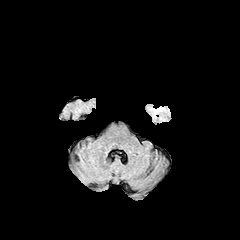
FLAIR MR image.
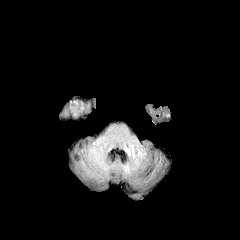
T1-weighted magnetic resonance.
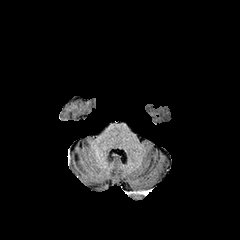
Post-contrast T1-weighted MR.
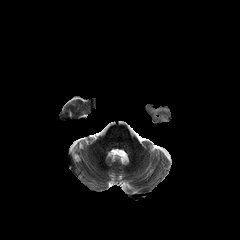
T2-weighted MR image of the same slice.
Axial plane
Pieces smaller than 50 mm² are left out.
peritumoral_edema:
  - left=150, top=107, right=169, bottom=116